Image width 240 mm, 1.00 mm slice spacing
FLAIR magnetic resonance.
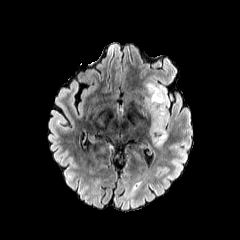
T1-weighted magnetic resonance.
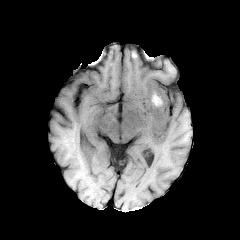
Post-contrast T1-weighted MRI.
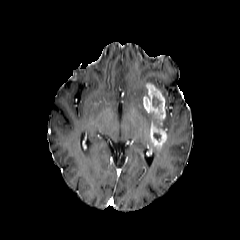
T2-weighted MR.
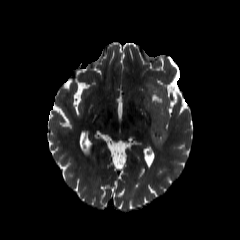
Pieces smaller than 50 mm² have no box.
peritumoral edema at region(152, 83, 168, 110)
enhancing tumor at region(143, 83, 167, 147)
necrotic tumor core at region(152, 96, 161, 106)